240x240 px; Head
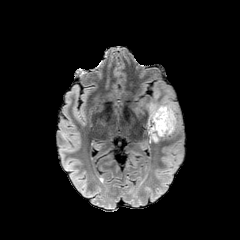
FLAIR MR.
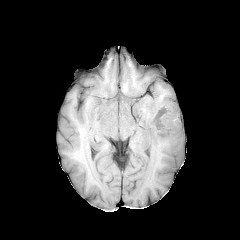
T1-weighted magnetic resonance.
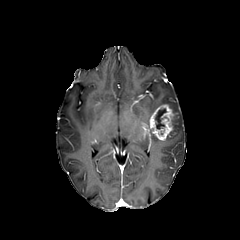
Same slice, post-contrast T1-weighted MR image.
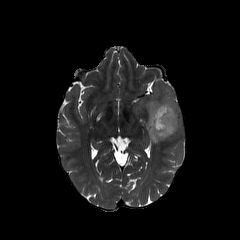
T2-weighted MR.
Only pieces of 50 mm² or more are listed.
necrotic tumor core: (155,108,166,129)
peritumoral edema: (146,90,181,139), (148,131,160,142)
enhancing tumor: (148,104,174,140)